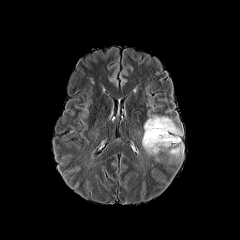
FLAIR magnetic resonance.
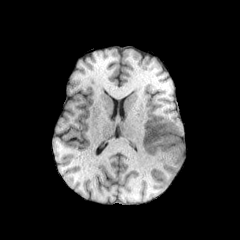
T1-weighted magnetic resonance of the same slice.
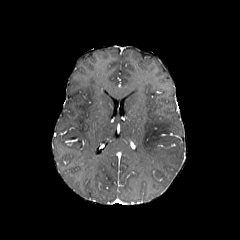
Post-contrast T1-weighted magnetic resonance.
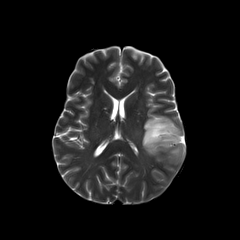
T2-weighted MR.
Axial plane
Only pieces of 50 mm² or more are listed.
peritumoral edema at rect(142, 115, 183, 159)